FLAIR magnetic resonance.
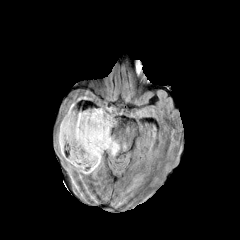
T1-weighted magnetic resonance.
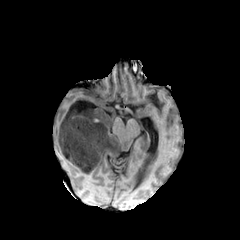
Post-contrast T1-weighted MR image.
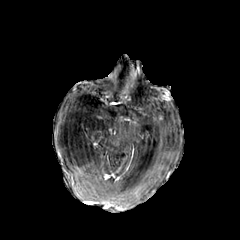
T2-weighted MR image.
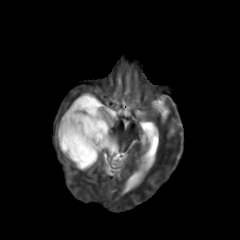
Axial view
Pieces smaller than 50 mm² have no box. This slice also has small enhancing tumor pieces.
The 3 largest peritumoral edema regions appear at 57, 134, 64, 156; 64, 91, 119, 174; 67, 134, 79, 154. The necrotic tumor core is bounded by 58, 114, 100, 167.